FLAIR MRI.
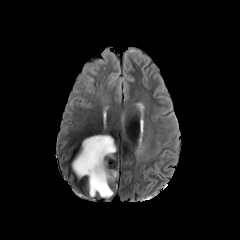
T1-weighted MR image.
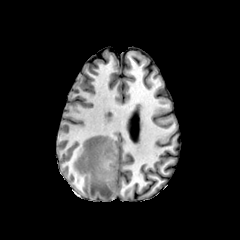
Post-contrast T1-weighted MR image.
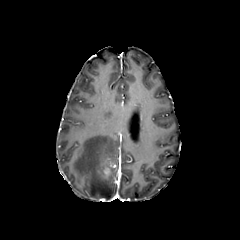
T2-weighted MR image.
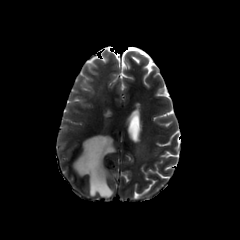
Axial view.
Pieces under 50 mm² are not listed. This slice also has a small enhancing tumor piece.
{
  "peritumoral_edema": [
    {"x1": 72, "y1": 135, "x2": 116, "y2": 198}
  ]
}